FLAIR MRI.
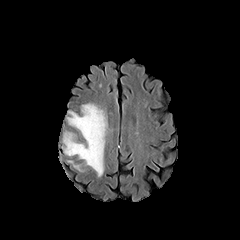
T1-weighted MR image.
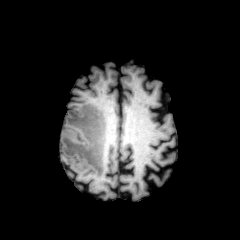
Post-contrast T1-weighted MR.
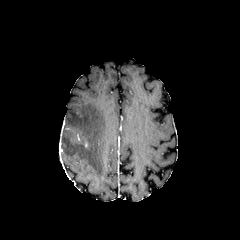
T2-weighted MR.
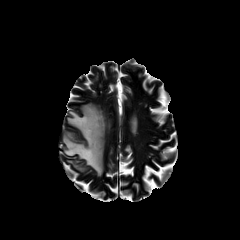
240x240, Axial slice
{"peritumoral_edema": ["bbox=[68, 160, 83, 171]", "bbox=[63, 103, 107, 176]"]}